FLAIR MRI.
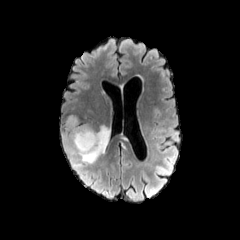
T1-weighted MR.
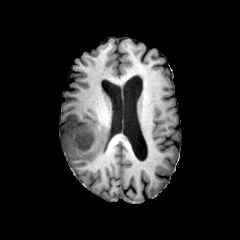
Post-contrast T1-weighted MRI.
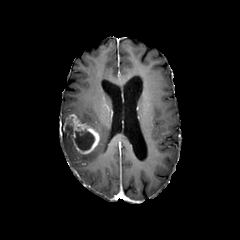
T2-weighted magnetic resonance.
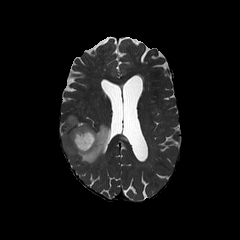
Brain, Axial slice, Image size 240x240
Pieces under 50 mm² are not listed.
peritumoral edema: bounding box bbox(61, 125, 111, 166)
necrotic tumor core: bounding box bbox(75, 129, 94, 150)
enhancing tumor: bounding box bbox(63, 114, 100, 154)